Axial view. 240x240.
FLAIR MR image.
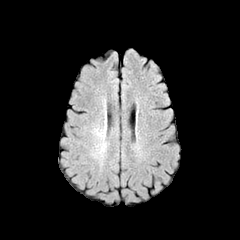
T1-weighted MR.
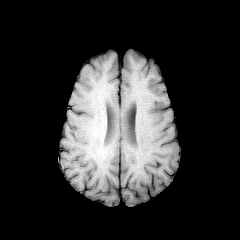
Post-contrast T1-weighted MR image.
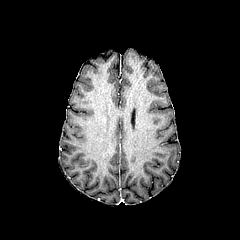
T2-weighted MRI.
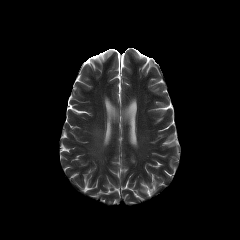
Annotated regions:
* peritumoral edema: [87,108,105,140]